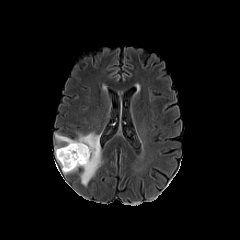
FLAIR MRI.
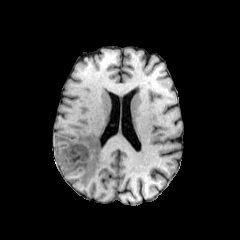
Same slice, T1-weighted magnetic resonance.
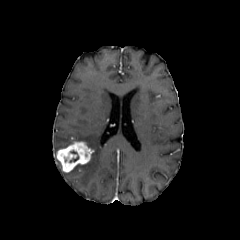
Same slice, post-contrast T1-weighted magnetic resonance.
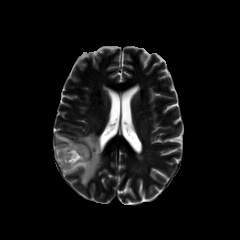
T2-weighted MR of the same slice.
Head, Image size 240x240, Axial slice
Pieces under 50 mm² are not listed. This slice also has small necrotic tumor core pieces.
enhancing tumor = 56:141:93:172
peritumoral edema = 55:132:102:186